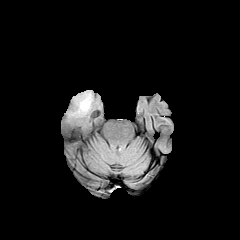
FLAIR MR image.
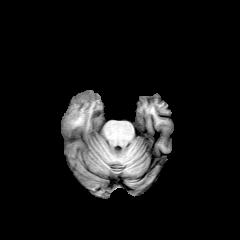
T1-weighted MR.
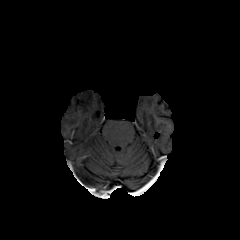
Post-contrast T1-weighted magnetic resonance.
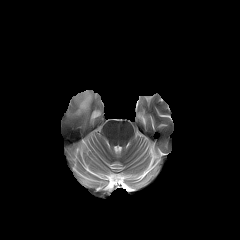
T2-weighted MRI of the same slice.
Axial slice | Head
Segmented structures:
• peritumoral edema: region(71, 91, 92, 115)